FLAIR magnetic resonance.
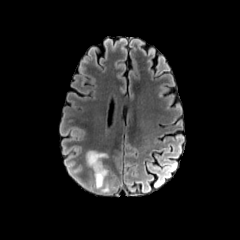
T1-weighted MR image.
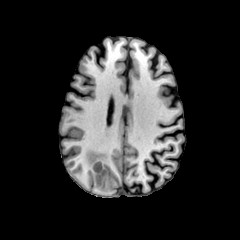
Post-contrast T1-weighted MRI.
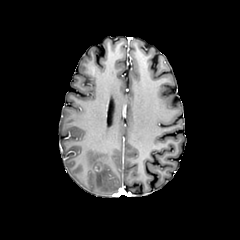
T2-weighted magnetic resonance.
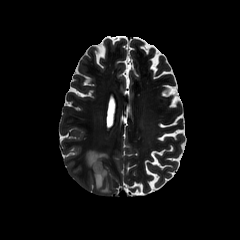
Axial slice. Brain.
The peritumoral edema is at x1=87 y1=150 x2=109 y2=192.